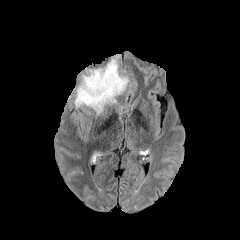
FLAIR MR image.
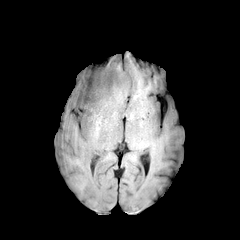
T1-weighted MR image.
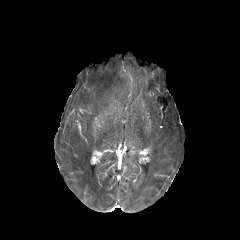
Post-contrast T1-weighted MRI.
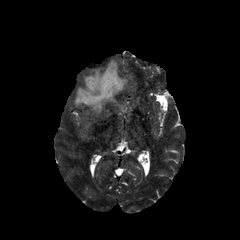
T2-weighted MRI.
Axial plane, Head
The peritumoral edema appears at box=[74, 59, 128, 114].